FLAIR magnetic resonance.
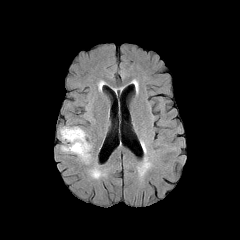
T1-weighted MR image.
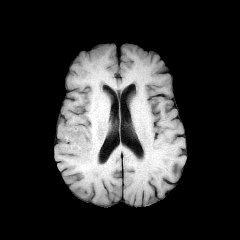
Post-contrast T1-weighted MR image.
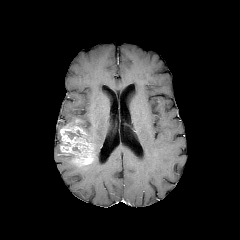
T2-weighted magnetic resonance.
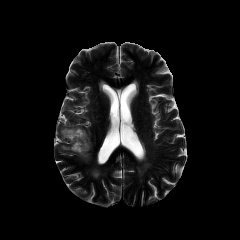
Brain. Image size 240x240.
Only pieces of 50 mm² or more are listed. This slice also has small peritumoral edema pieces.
enhancing tumor: [60,123,94,165]
necrotic tumor core: [65,130,81,139]